FLAIR MR.
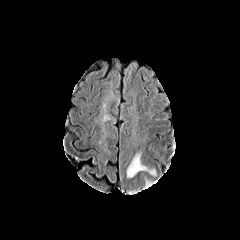
T1-weighted magnetic resonance.
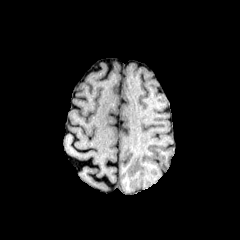
Post-contrast T1-weighted MR.
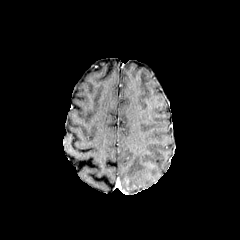
T2-weighted MRI.
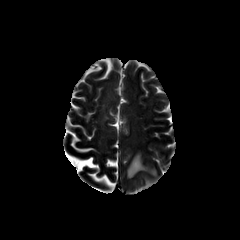
240x240 px.
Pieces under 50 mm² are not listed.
The largest peritumoral edema region is located at (left=127, top=154, right=147, bottom=177).